Slice index 75 | Axial plane | 240x240 px
FLAIR MR.
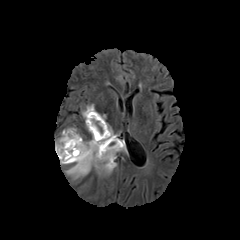
T1-weighted MR.
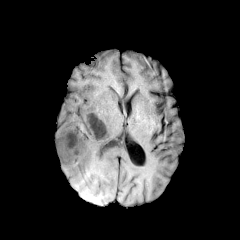
Post-contrast T1-weighted magnetic resonance.
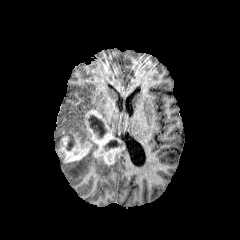
T2-weighted MRI.
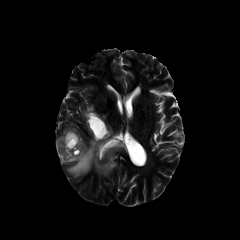
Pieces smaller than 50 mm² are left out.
- peritumoral edema: l=55, t=132, r=63, b=152; l=63, t=127, r=77, b=132; l=59, t=139, r=116, b=179; l=82, t=104, r=94, b=118; l=101, t=114, r=117, b=137
- enhancing tumor: l=85, t=109, r=122, b=164; l=57, t=131, r=91, b=162
- necrotic tumor core: l=88, t=115, r=108, b=136; l=106, t=139, r=118, b=148; l=66, t=141, r=75, b=150